FLAIR MRI.
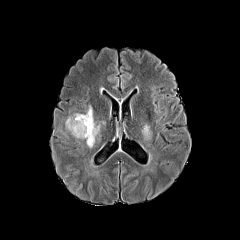
T1-weighted magnetic resonance.
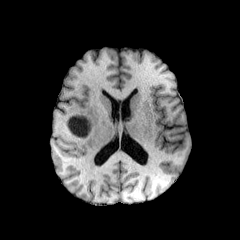
Post-contrast T1-weighted magnetic resonance.
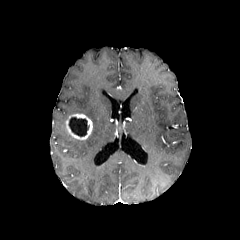
T2-weighted MRI.
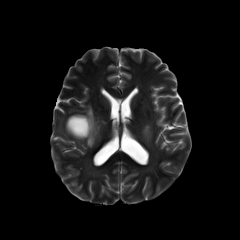
240x240 px
The necrotic tumor core lies within box(69, 117, 88, 136). 2 peritumoral edema regions are located at box(142, 124, 151, 139); box(85, 106, 100, 147). The enhancing tumor lies within box(65, 113, 92, 140).